Image width 240 mm, 1.00 mm slice spacing; Axial plane; Slice index 110; Image size 240x240; Head
FLAIR MR image.
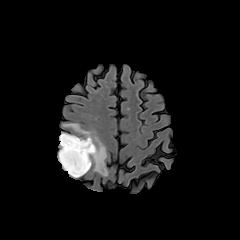
T1-weighted MRI.
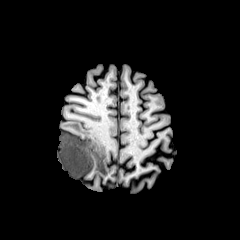
Post-contrast T1-weighted MRI.
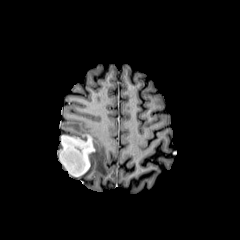
T2-weighted MRI.
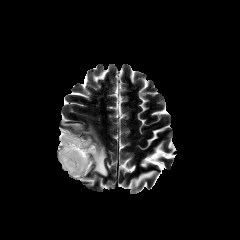
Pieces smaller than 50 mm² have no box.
enhancing tumor = rect(59, 135, 94, 176)
peritumoral edema = rect(63, 123, 108, 176)